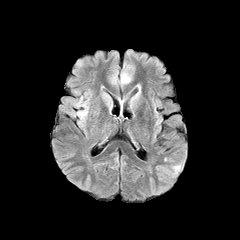
FLAIR MR image.
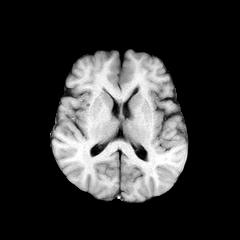
T1-weighted MRI.
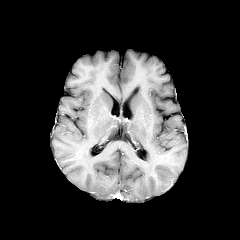
Post-contrast T1-weighted MR image.
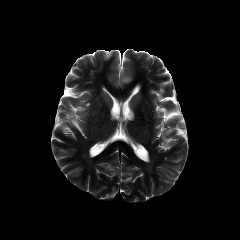
T2-weighted MR.
Brain.
peritumoral edema = rect(121, 74, 130, 83)